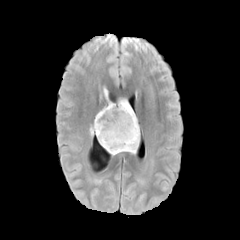
FLAIR magnetic resonance.
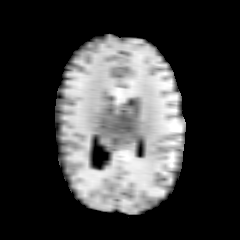
T1-weighted MR.
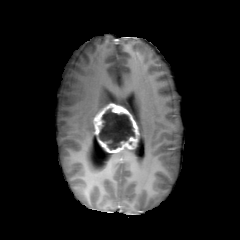
Post-contrast T1-weighted magnetic resonance.
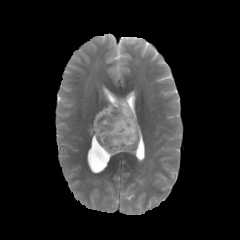
T2-weighted MR image of the same slice.
240x240, Brain
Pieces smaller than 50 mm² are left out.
enhancing_tumor:
  - <bbox>93, 103, 139, 153</bbox>
peritumoral_edema:
  - <bbox>119, 145, 137, 154</bbox>
  - <bbox>89, 124, 94, 135</bbox>
  - <bbox>104, 89, 112, 103</bbox>
  - <bbox>118, 99, 138, 126</bbox>
necrotic_tumor_core:
  - <bbox>98, 109, 134, 149</bbox>